Axial view, Slice 56/155
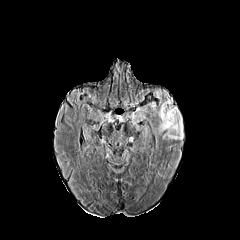
FLAIR magnetic resonance.
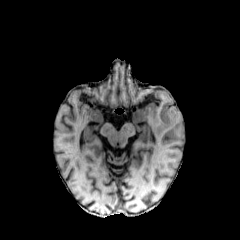
T1-weighted MRI.
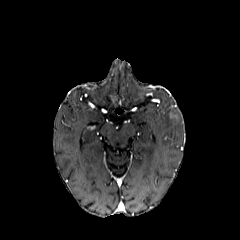
Post-contrast T1-weighted MR.
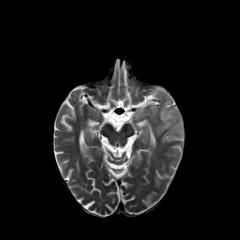
T2-weighted magnetic resonance.
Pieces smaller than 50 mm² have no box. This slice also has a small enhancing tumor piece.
The peritumoral edema is at bbox(151, 98, 183, 139).